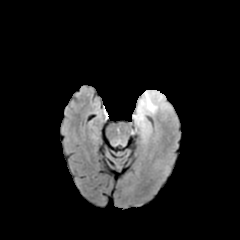
FLAIR magnetic resonance.
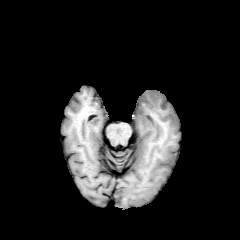
T1-weighted magnetic resonance.
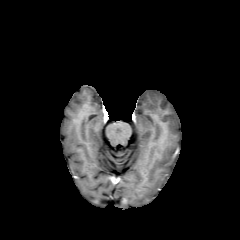
Post-contrast T1-weighted magnetic resonance.
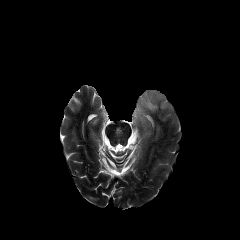
T2-weighted MR.
Head | Axial plane
The peritumoral edema is bounded by 133,90,171,136.